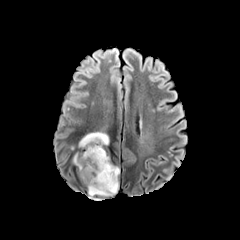
FLAIR magnetic resonance.
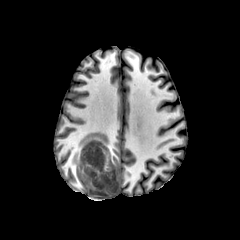
T1-weighted MR image.
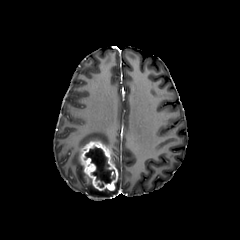
Post-contrast T1-weighted MR of the same slice.
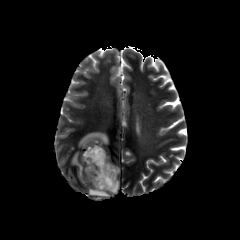
T2-weighted MRI.
Axial slice
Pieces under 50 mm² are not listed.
<segmentation>
  <necrotic_tumor_core>85 147 115 187</necrotic_tumor_core>
  <enhancing_tumor>79 141 118 190</enhancing_tumor>
  <peritumoral_edema>88 180 119 197, 72 152 84 181, 78 132 109 147</peritumoral_edema>
</segmentation>